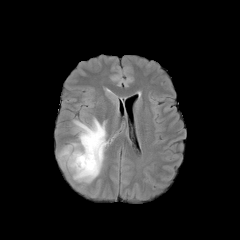
FLAIR MRI.
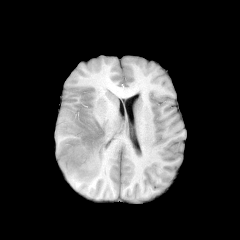
Same slice, T1-weighted magnetic resonance.
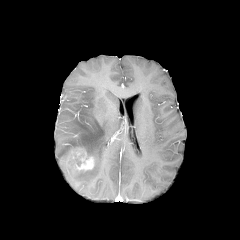
Post-contrast T1-weighted MR image.
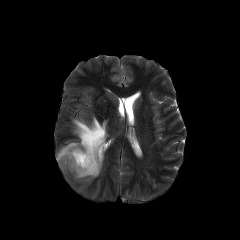
Same slice, T2-weighted MR.
Axial plane; Image size 240x240
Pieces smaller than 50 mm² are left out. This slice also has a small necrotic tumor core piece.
Segmented structures:
* enhancing tumor: bbox=[64, 148, 94, 171]
* peritumoral edema: bbox=[57, 117, 107, 183]